240x240, Axial view
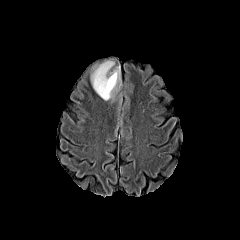
FLAIR MR image.
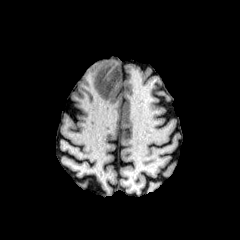
T1-weighted MRI.
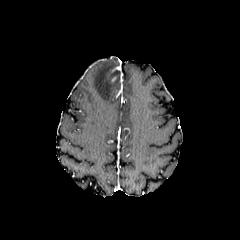
Post-contrast T1-weighted MR image.
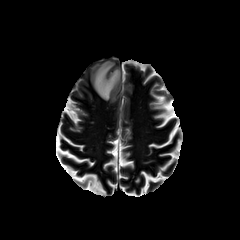
Same slice, T2-weighted MR.
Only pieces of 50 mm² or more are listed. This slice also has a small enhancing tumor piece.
The peritumoral edema is bounded by (x1=91, y1=61, x2=120, y2=100).